240x240 px; Axial view; Image width 240 mm; Head
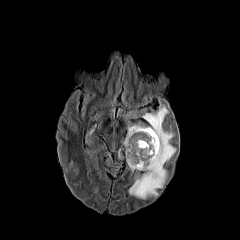
FLAIR MRI.
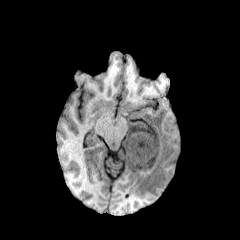
T1-weighted MR image.
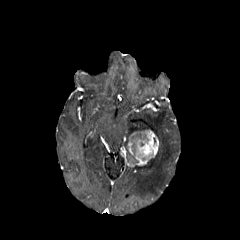
Post-contrast T1-weighted MRI of the same slice.
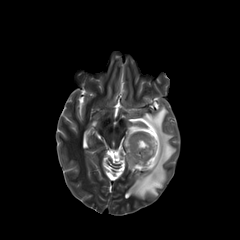
T2-weighted MR image.
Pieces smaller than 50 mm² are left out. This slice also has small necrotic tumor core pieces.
enhancing tumor: bounding box [x1=127, y1=129, x2=159, y2=167]
peritumoral edema: bounding box [x1=124, y1=105, x2=176, y2=199]